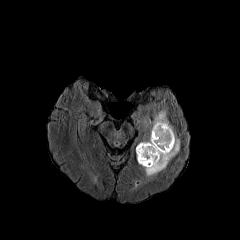
FLAIR MRI.
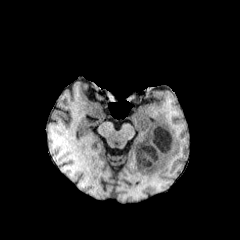
T1-weighted MRI of the same slice.
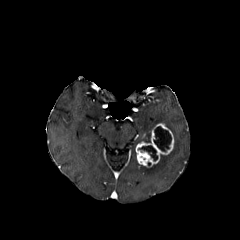
Post-contrast T1-weighted MR.
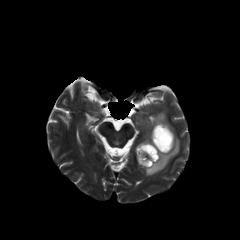
T2-weighted MR of the same slice.
Image size 240x240, Axial slice
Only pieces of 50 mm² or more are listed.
The enhancing tumor appears at (135, 123, 174, 167). The 2 largest necrotic tumor core regions are located at (153, 126, 171, 151), (138, 145, 157, 161). The largest peritumoral edema region is located at (141, 109, 180, 177).